240x240 | Axial view | Brain | Slice 111/155
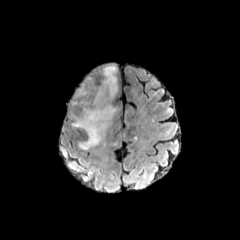
FLAIR MRI.
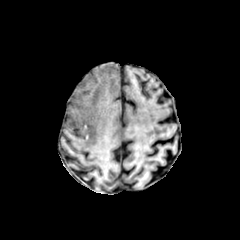
T1-weighted MR.
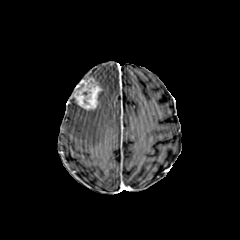
Same slice, post-contrast T1-weighted MRI.
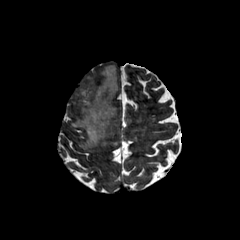
T2-weighted magnetic resonance.
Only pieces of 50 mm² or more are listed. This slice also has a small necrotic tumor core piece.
The largest peritumoral edema region appears at 72,65,117,149. The enhancing tumor is at 73,76,102,110.